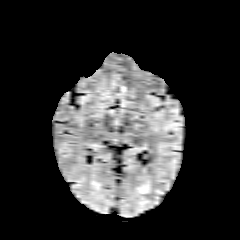
FLAIR MR.
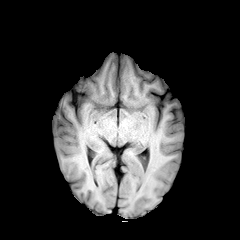
T1-weighted MRI of the same slice.
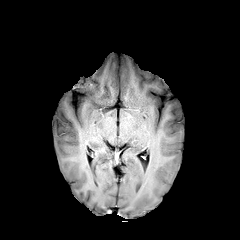
Post-contrast T1-weighted MRI of the same slice.
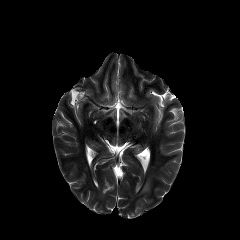
Same slice, T2-weighted magnetic resonance.
Brain.
peritumoral edema at l=139, t=181, r=149, b=193